Axial slice; 240x240; Slice 90/155
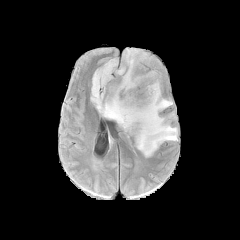
FLAIR MR.
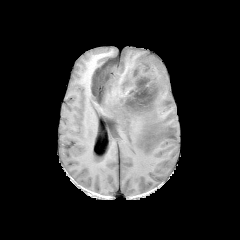
Same slice, T1-weighted MR image.
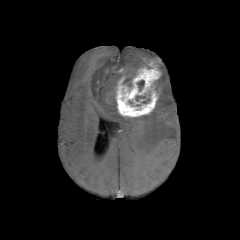
Post-contrast T1-weighted magnetic resonance.
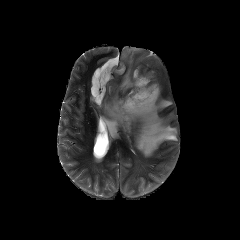
T2-weighted magnetic resonance.
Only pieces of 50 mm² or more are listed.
enhancing tumor — region(116, 60, 160, 117)
peritumoral edema — region(90, 48, 177, 157)
necrotic tumor core — region(137, 80, 144, 90)